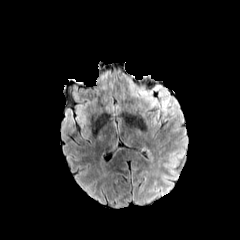
FLAIR MR.
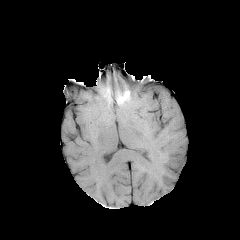
Same slice, T1-weighted magnetic resonance.
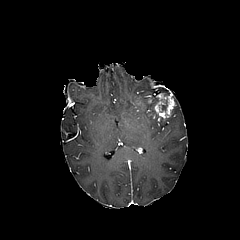
Post-contrast T1-weighted magnetic resonance.
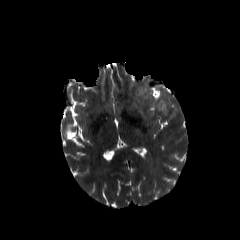
T2-weighted MR image of the same slice.
Image size 240x240
* peritumoral edema: left=136, top=89, right=150, bottom=99
* enhancing tumor: left=146, top=92, right=176, bottom=118
* necrotic tumor core: left=160, top=98, right=167, bottom=112